Image covers 240 mm x 240 mm
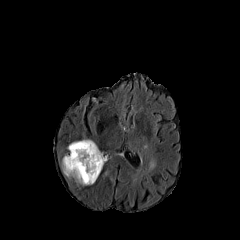
FLAIR magnetic resonance.
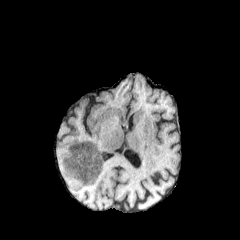
T1-weighted MR of the same slice.
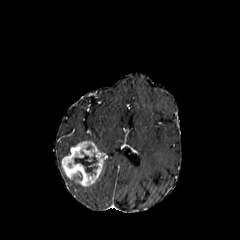
Post-contrast T1-weighted MR image.
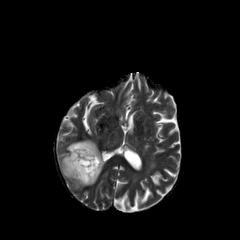
Same slice, T2-weighted MR.
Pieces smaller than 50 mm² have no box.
peritumoral_edema:
  - <box>67,139,91,151</box>
necrotic_tumor_core:
  - <box>74,155,97,174</box>
enhancing_tumor:
  - <box>61,141,103,186</box>